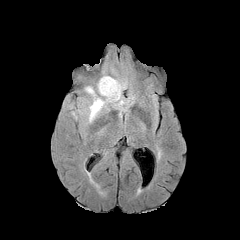
FLAIR magnetic resonance.
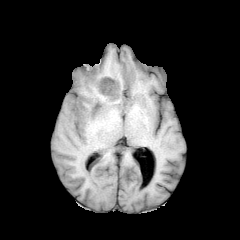
T1-weighted magnetic resonance.
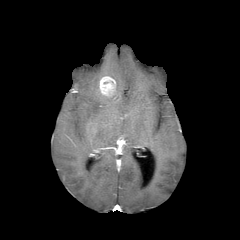
Post-contrast T1-weighted MR image of the same slice.
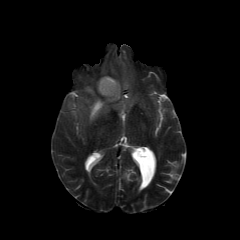
T2-weighted MR image.
Axial view, Head
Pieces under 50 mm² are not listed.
<segmentation>
  <peritumoral_edema>box(86, 80, 121, 121)</peritumoral_edema>
  <enhancing_tumor>box(99, 76, 116, 96)</enhancing_tumor>
</segmentation>